FLAIR MR image.
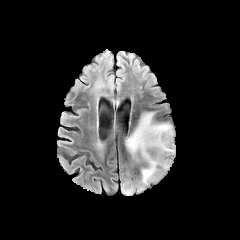
T1-weighted MR image.
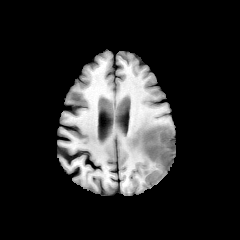
Post-contrast T1-weighted MR.
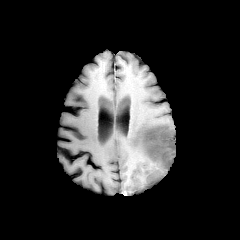
T2-weighted MRI.
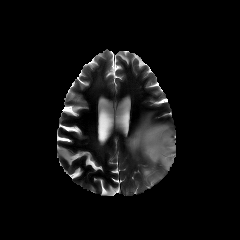
Image size 240x240, Axial slice, Head
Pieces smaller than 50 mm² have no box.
peritumoral_edema:
  - rect(126, 112, 175, 184)
enhancing_tumor:
  - rect(141, 130, 175, 165)
necrotic_tumor_core:
  - rect(145, 131, 173, 164)